Slice 72 of 155
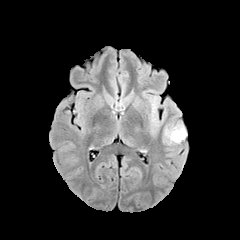
FLAIR MR.
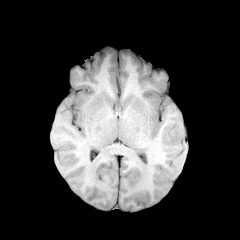
Same slice, T1-weighted magnetic resonance.
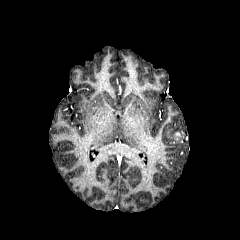
Same slice, post-contrast T1-weighted MRI.
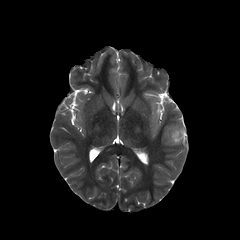
T2-weighted MRI.
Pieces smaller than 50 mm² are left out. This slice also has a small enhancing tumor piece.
{
  "peritumoral_edema": [
    "box(164, 124, 186, 144)"
  ]
}